Brain
FLAIR MR image.
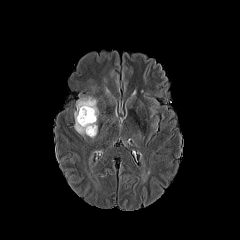
T1-weighted MR image.
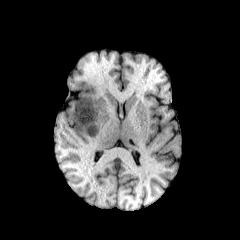
Post-contrast T1-weighted MR.
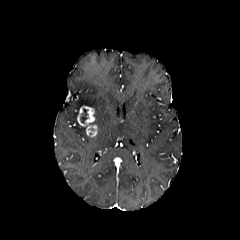
T2-weighted MR.
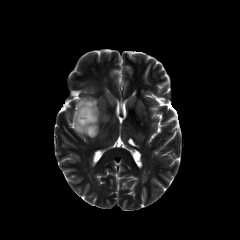
enhancing tumor: bounding box 77 106 97 137
necrotic tumor core: bounding box 80 109 87 122
peritumoral edema: bounding box 74 96 98 135